Slice 44 of 155 | 240x240
FLAIR MRI.
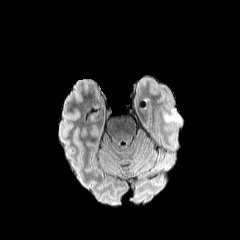
T1-weighted MR.
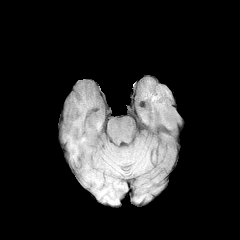
Post-contrast T1-weighted MR image.
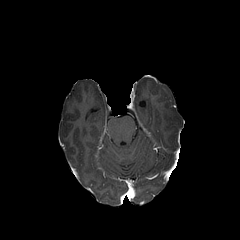
T2-weighted magnetic resonance.
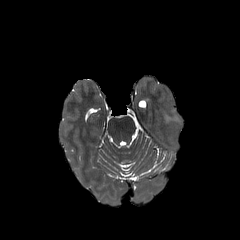
peritumoral edema = bbox(164, 113, 181, 122)